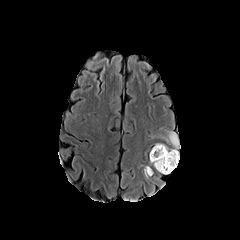
FLAIR magnetic resonance.
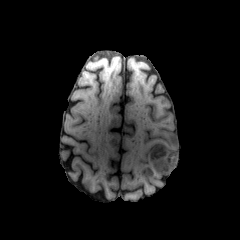
T1-weighted MRI of the same slice.
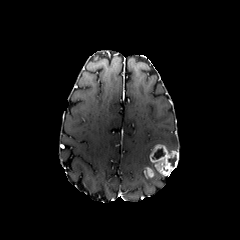
Post-contrast T1-weighted MR of the same slice.
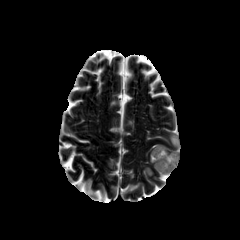
T2-weighted MR.
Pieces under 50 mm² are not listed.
* enhancing tumor: (144,167,153,177), (150,144,178,175)
* necrotic tumor core: (168,155,176,166), (152,148,165,159)
* peritumoral edema: (166,131,179,151)